Slice 72/155, Head, Image size 240x240, Image width 240 mm, 1.00 mm slice spacing
FLAIR MR.
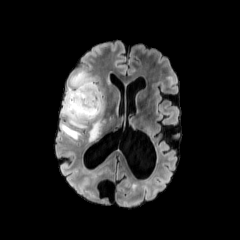
T1-weighted magnetic resonance.
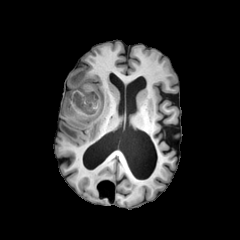
Post-contrast T1-weighted MR.
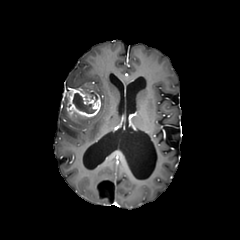
T2-weighted magnetic resonance.
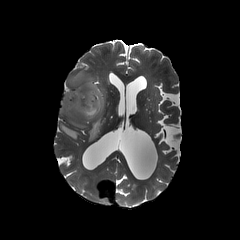
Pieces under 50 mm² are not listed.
necrotic tumor core: bounding box [73, 93, 95, 113]
peritumoral edema: bounding box [61, 71, 103, 127], [60, 123, 80, 139], [88, 119, 103, 141]
enhancing tumor: bounding box [64, 87, 101, 118]